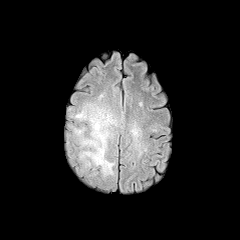
FLAIR magnetic resonance.
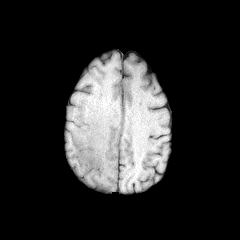
T1-weighted magnetic resonance.
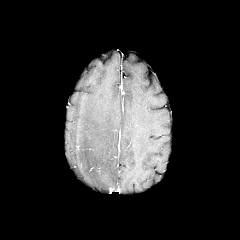
Same slice, post-contrast T1-weighted MR image.
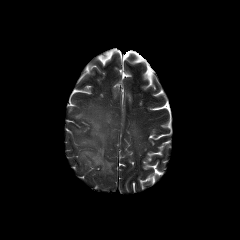
T2-weighted MR image of the same slice.
Axial plane. 240x240.
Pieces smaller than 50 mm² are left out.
peritumoral edema: 74:103:117:177